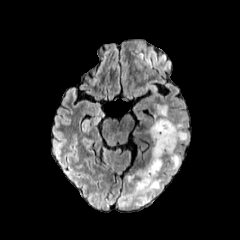
FLAIR MRI.
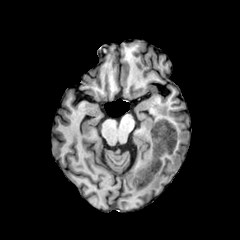
T1-weighted MR.
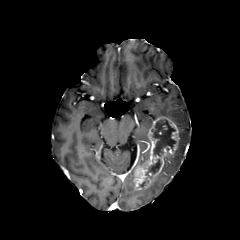
Post-contrast T1-weighted MR of the same slice.
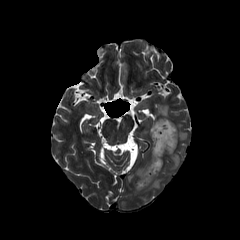
T2-weighted magnetic resonance.
Brain
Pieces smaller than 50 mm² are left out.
necrotic tumor core — box=[152, 120, 175, 156]; box=[145, 159, 161, 177]
peritumoral edema — box=[155, 104, 188, 150]; box=[168, 151, 180, 170]; box=[134, 175, 162, 193]
enhancing tumor — box=[133, 117, 179, 189]